FLAIR MRI.
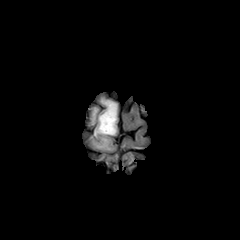
T1-weighted MR image.
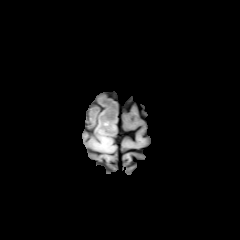
Post-contrast T1-weighted MRI.
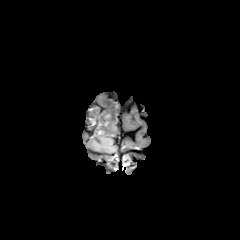
T2-weighted MR.
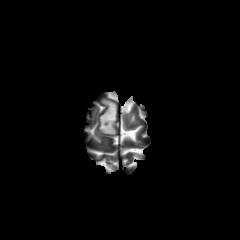
Head
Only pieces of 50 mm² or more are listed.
The largest peritumoral edema region is at x1=94, y1=99, x2=117, y2=135.